FLAIR MR image.
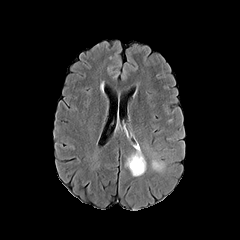
T1-weighted MR.
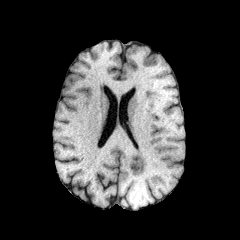
Post-contrast T1-weighted magnetic resonance.
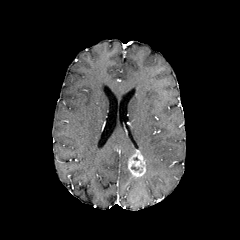
T2-weighted MR image.
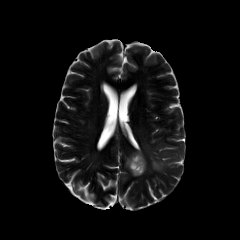
Axial view | Head
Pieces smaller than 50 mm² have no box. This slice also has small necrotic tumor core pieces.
<segmentation>
  <peritumoral_edema>[152,160,164,170]</peritumoral_edema>
  <enhancing_tumor>[128,150,145,176]</enhancing_tumor>
</segmentation>